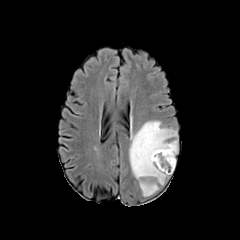
FLAIR MRI.
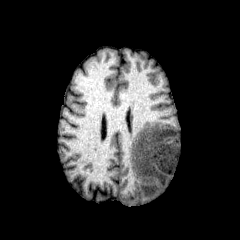
T1-weighted MRI.
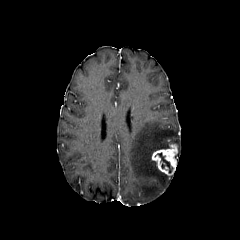
Same slice, post-contrast T1-weighted MRI.
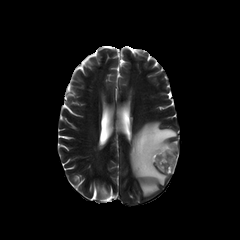
T2-weighted magnetic resonance of the same slice.
Head, Axial plane
necrotic tumor core: box=[157, 153, 172, 172] | peritumoral edema: box=[129, 121, 177, 196] | enhancing tumor: box=[151, 144, 177, 175]